240x240 px; Axial plane; Brain
FLAIR MRI.
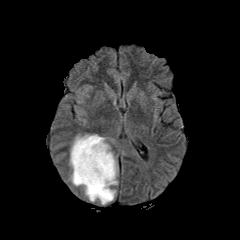
T1-weighted MRI.
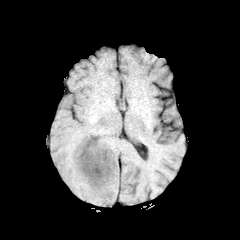
Post-contrast T1-weighted magnetic resonance.
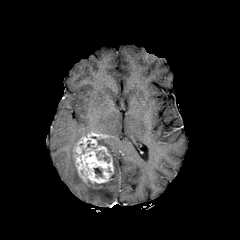
T2-weighted MRI.
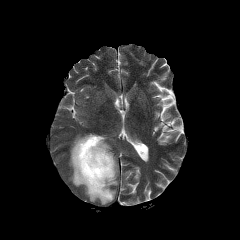
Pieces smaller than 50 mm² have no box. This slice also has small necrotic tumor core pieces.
enhancing tumor — box=[73, 133, 113, 188]
peritumoral edema — box=[69, 135, 117, 204]